FLAIR MR image.
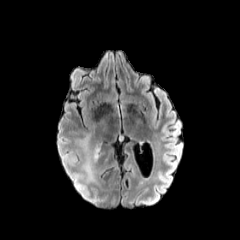
T1-weighted MRI.
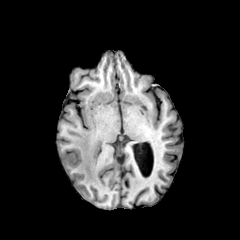
Post-contrast T1-weighted MR.
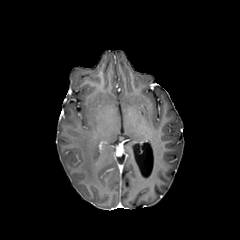
T2-weighted MR.
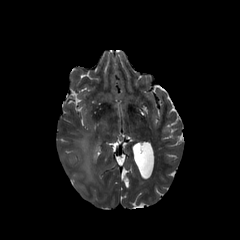
Brain
The peritumoral edema lies within {"x1": 78, "y1": 135, "x2": 98, "y2": 181}.